FLAIR magnetic resonance.
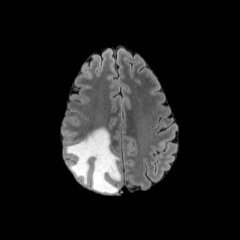
T1-weighted MRI.
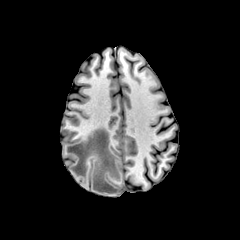
Post-contrast T1-weighted MR image.
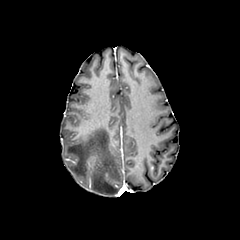
T2-weighted magnetic resonance.
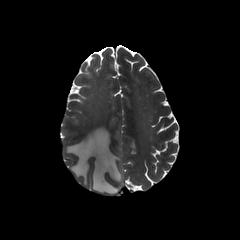
The peritumoral edema is located at (65, 127, 121, 194).